Slice 73/155, Brain
FLAIR MRI.
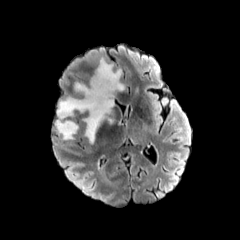
T1-weighted MRI.
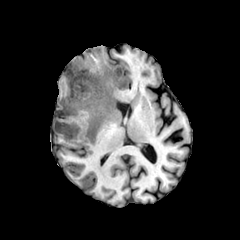
Post-contrast T1-weighted MR image.
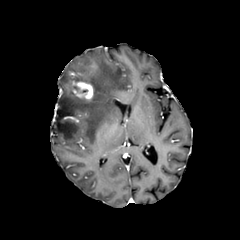
T2-weighted MR.
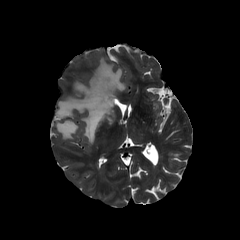
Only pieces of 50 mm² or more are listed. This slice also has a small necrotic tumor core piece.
<segmentation>
  <peritumoral_edema>{"x1": 55, "y1": 57, "x2": 124, "y2": 143}</peritumoral_edema>
  <enhancing_tumor>{"x1": 72, "y1": 81, "x2": 93, "y2": 100}</enhancing_tumor>
</segmentation>